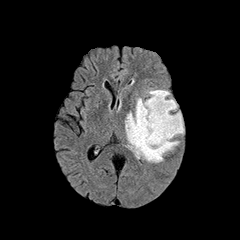
FLAIR MRI.
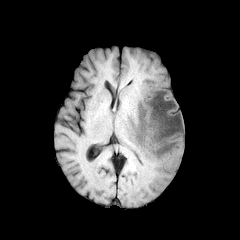
T1-weighted MR.
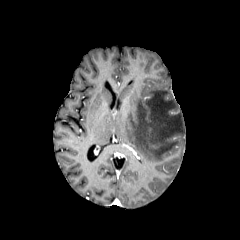
Post-contrast T1-weighted MRI.
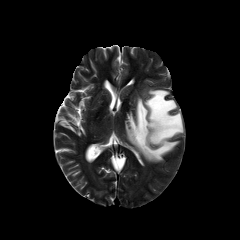
Same slice, T2-weighted MR image.
Head; 240x240
{
  "peritumoral_edema": [
    "(x1=125, y1=89, x2=183, y2=162)"
  ]
}